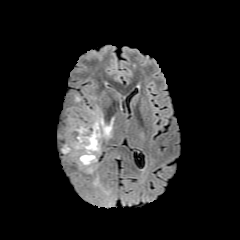
FLAIR magnetic resonance.
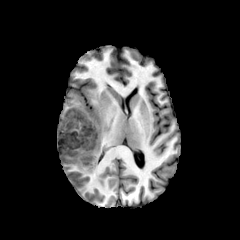
T1-weighted MR image of the same slice.
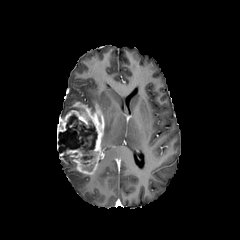
Same slice, post-contrast T1-weighted MR.
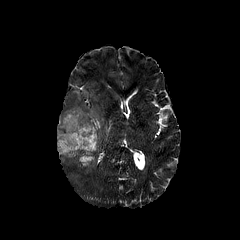
T2-weighted MR image of the same slice.
Head
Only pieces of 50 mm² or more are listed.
<segmentation>
  <necrotic_tumor_core>(left=58, top=114, right=97, bottom=160)</necrotic_tumor_core>
  <peritumoral_edema>(left=102, top=120, right=112, bottom=140)</peritumoral_edema>
  <enhancing_tumor>(left=57, top=102, right=104, bottom=174)</enhancing_tumor>
</segmentation>